FLAIR magnetic resonance.
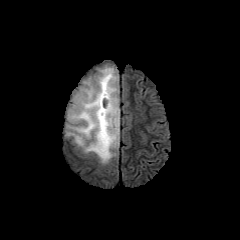
T1-weighted MR image.
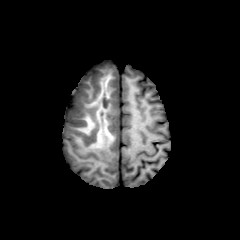
Post-contrast T1-weighted MRI.
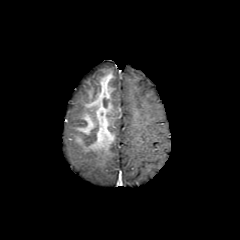
T2-weighted MR image.
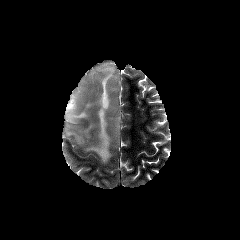
Head
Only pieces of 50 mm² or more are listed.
enhancing tumor = 96, 94, 112, 119
necrotic tumor core = 103, 98, 110, 107
peritumoral edema = 65, 64, 119, 164